FLAIR magnetic resonance.
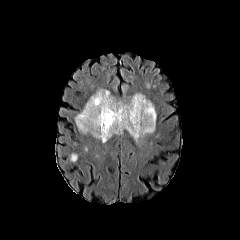
T1-weighted magnetic resonance.
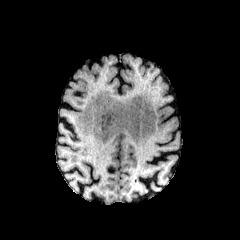
Post-contrast T1-weighted MRI.
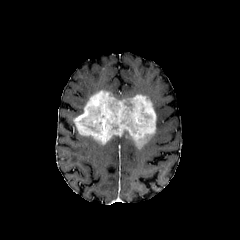
T2-weighted MR image.
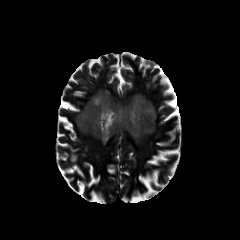
Brain.
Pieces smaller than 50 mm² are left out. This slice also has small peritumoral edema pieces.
Findings:
• enhancing tumor: {"x1": 74, "y1": 90, "x2": 156, "y2": 146}